240x240; Image width 240 mm; Slice 76 of 155
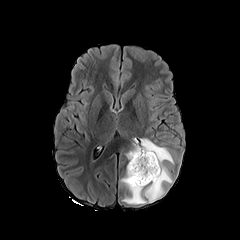
FLAIR MRI.
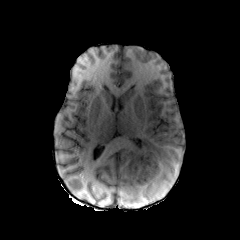
T1-weighted MRI.
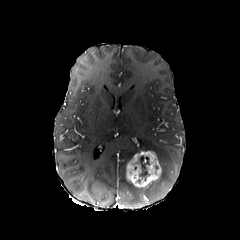
Post-contrast T1-weighted MR.
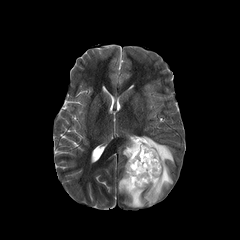
T2-weighted MRI of the same slice.
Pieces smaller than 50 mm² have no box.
<segmentation>
  <peritumoral_edema>bbox=[119, 137, 173, 204]</peritumoral_edema>
  <necrotic_tumor_core>bbox=[139, 156, 149, 176]</necrotic_tumor_core>
  <enhancing_tumor>bbox=[126, 151, 161, 187]</enhancing_tumor>
</segmentation>